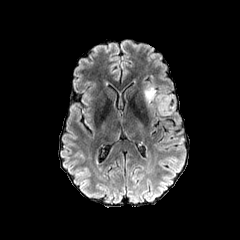
FLAIR MR.
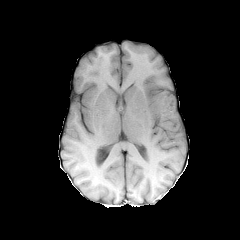
T1-weighted MR of the same slice.
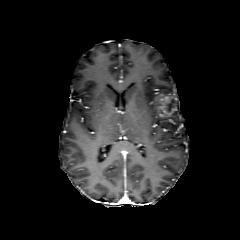
Post-contrast T1-weighted magnetic resonance.
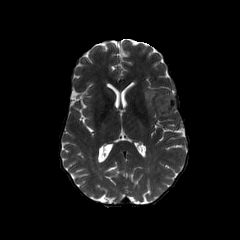
T2-weighted MRI.
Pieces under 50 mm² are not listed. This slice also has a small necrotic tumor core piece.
{
  "peritumoral_edema": [
    "bbox=[144, 86, 156, 104]"
  ],
  "enhancing_tumor": [
    "bbox=[154, 94, 176, 116]"
  ]
}